Slice index 90 | Head
FLAIR MR image.
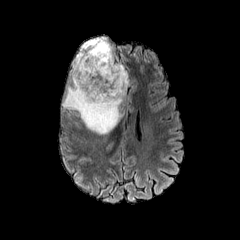
T1-weighted MRI.
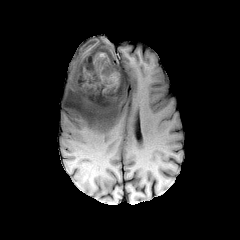
Post-contrast T1-weighted MR image.
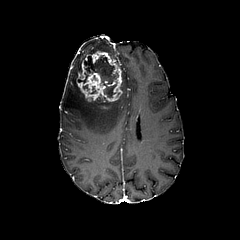
T2-weighted MRI.
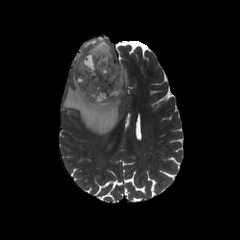
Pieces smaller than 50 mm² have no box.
peritumoral_edema:
  - l=62, t=37, r=128, b=134
enhancing_tumor:
  - l=76, t=51, r=122, b=102
necrotic_tumor_core:
  - l=78, t=55, r=118, b=97